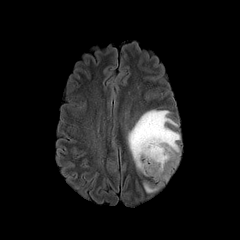
FLAIR MRI.
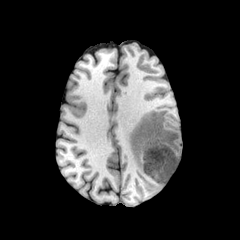
Same slice, T1-weighted MR.
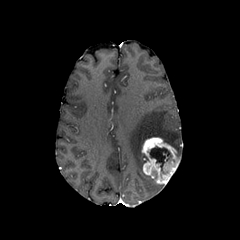
Post-contrast T1-weighted MR image of the same slice.
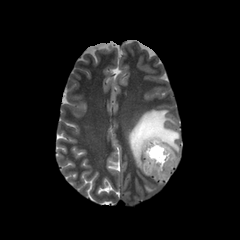
T2-weighted MR of the same slice.
Axial slice
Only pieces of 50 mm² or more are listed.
2 peritumoral edema regions are located at x1=144, y1=183, x2=157, y2=192; x1=127, y1=109, x2=180, y2=171. The largest enhancing tumor region is bounded by x1=141, y1=137, x2=179, y2=184. The necrotic tumor core lies within x1=150, y1=147, x2=171, y2=170.